FLAIR MR image.
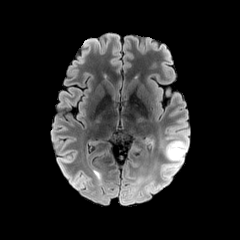
T1-weighted MR image.
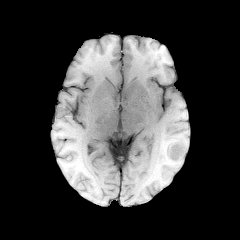
Post-contrast T1-weighted MRI.
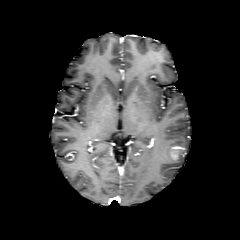
T2-weighted MR image.
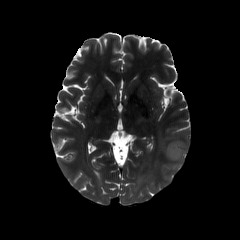
peritumoral edema — [161, 132, 188, 175]
enhancing tumor — [169, 145, 185, 160]